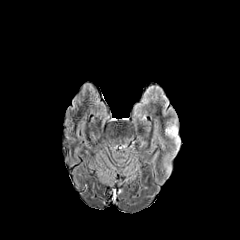
FLAIR MRI.
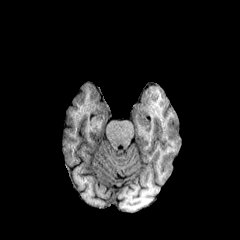
T1-weighted MR.
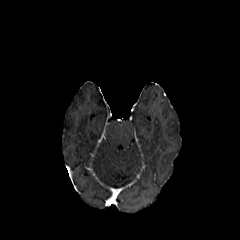
Post-contrast T1-weighted MRI.
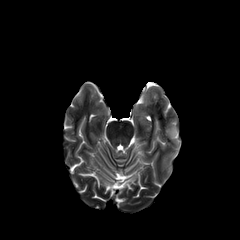
T2-weighted magnetic resonance.
Head
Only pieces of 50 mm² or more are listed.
Segmented structures:
- peritumoral edema: rect(165, 124, 179, 143)